Slice 69/155, Head, Axial view
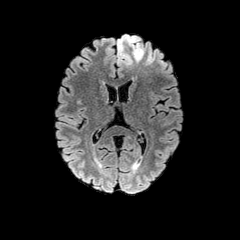
FLAIR magnetic resonance.
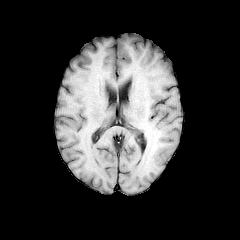
T1-weighted MR image.
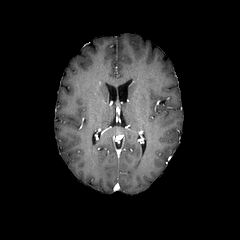
Same slice, post-contrast T1-weighted MRI.
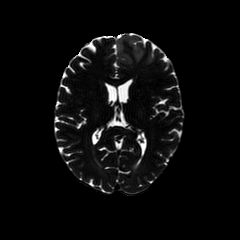
T2-weighted MR image of the same slice.
{
  "peritumoral_edema": [
    "l=117, t=34, r=144, b=65"
  ]
}